FLAIR MR.
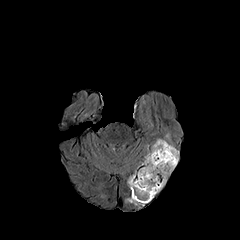
T1-weighted MRI.
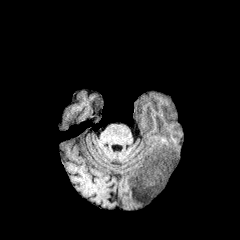
Post-contrast T1-weighted MRI.
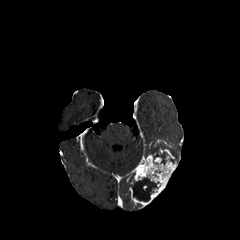
T2-weighted MRI.
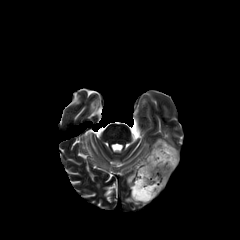
240x240 px
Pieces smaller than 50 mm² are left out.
<segmentation>
  <necrotic_tumor_core>rect(129, 178, 157, 201); rect(150, 149, 167, 164); rect(167, 147, 178, 162)</necrotic_tumor_core>
  <enhancing_tumor>rect(127, 139, 177, 207)</enhancing_tumor>
  <peritumoral_edema>rect(144, 144, 155, 156)</peritumoral_edema>
</segmentation>